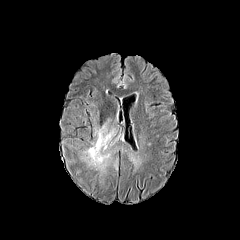
FLAIR MRI.
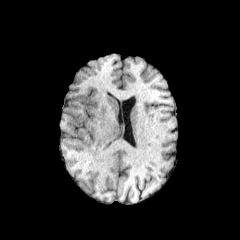
T1-weighted magnetic resonance.
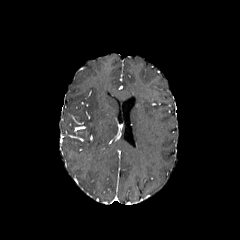
Post-contrast T1-weighted MR.
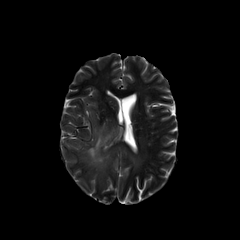
Same slice, T2-weighted MR.
Axial plane
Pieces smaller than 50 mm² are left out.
peritumoral edema at {"x1": 83, "y1": 123, "x2": 115, "y2": 171}